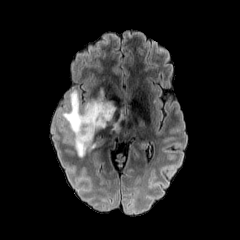
FLAIR magnetic resonance.
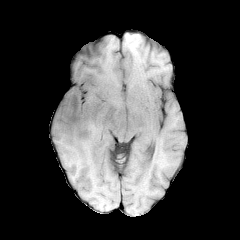
T1-weighted magnetic resonance.
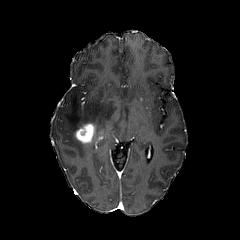
Post-contrast T1-weighted MR image of the same slice.
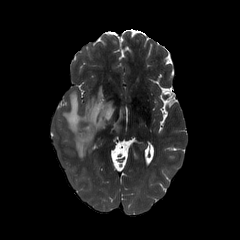
T2-weighted MR.
Brain.
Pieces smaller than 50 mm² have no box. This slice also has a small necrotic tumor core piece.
peritumoral edema — <box>62,87,129,157</box>
enhancing tumor — <box>75,123,95,143</box>